FLAIR MR.
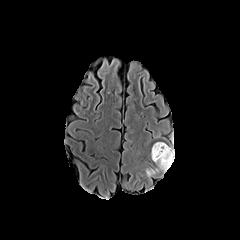
T1-weighted MRI.
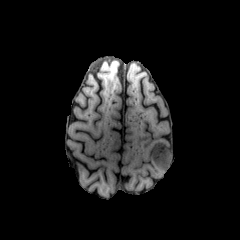
Post-contrast T1-weighted MR image.
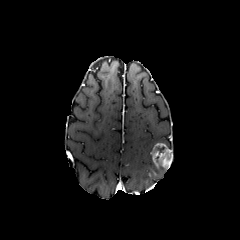
T2-weighted MR.
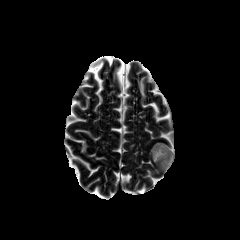
Head, Axial slice
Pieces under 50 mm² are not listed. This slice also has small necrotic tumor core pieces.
Annotated regions:
* enhancing tumor: bbox=[151, 143, 172, 169]
* peritumoral edema: bbox=[145, 167, 159, 177]